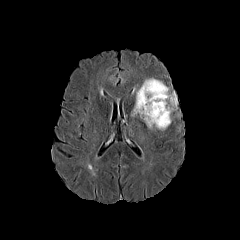
FLAIR MR image.
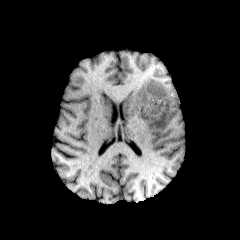
T1-weighted MRI of the same slice.
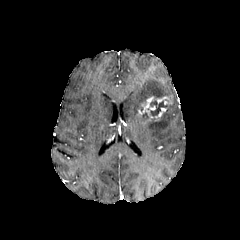
Post-contrast T1-weighted magnetic resonance.
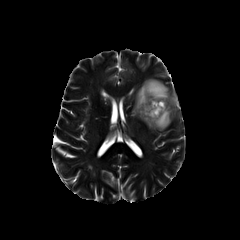
Same slice, T2-weighted MR image.
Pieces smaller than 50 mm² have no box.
{"peritumoral_edema": ["131 78 177 130"], "enhancing_tumor": ["138 96 172 121"], "necrotic_tumor_core": ["150 100 167 115"]}